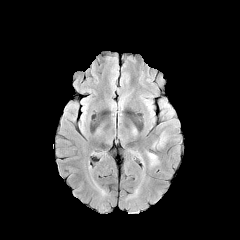
FLAIR magnetic resonance.
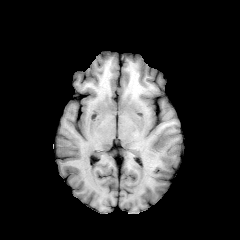
T1-weighted MR image.
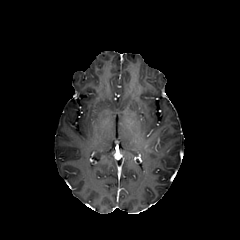
Post-contrast T1-weighted MR image.
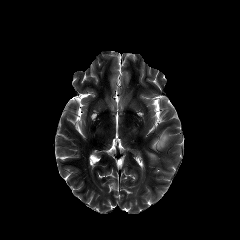
Same slice, T2-weighted MRI.
Head. 240x240.
2 peritumoral edema regions are located at bbox=[153, 132, 167, 147]; bbox=[148, 153, 157, 163].